FLAIR magnetic resonance.
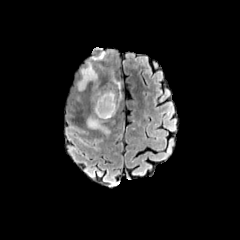
T1-weighted magnetic resonance.
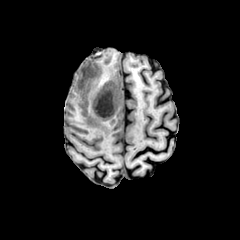
Post-contrast T1-weighted MR image.
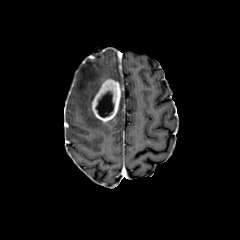
T2-weighted MRI.
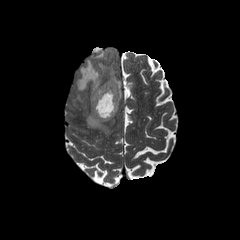
Axial slice, Brain
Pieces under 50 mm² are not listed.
The 3 largest peritumoral edema regions appear at (93,52,106,60), (77,61,99,100), (87,113,109,134). The enhancing tumor is at (92,79,120,121). The necrotic tumor core is located at (96,91,113,117).